240x240 | Image width 240 mm, 1.00 mm slice spacing
FLAIR MRI.
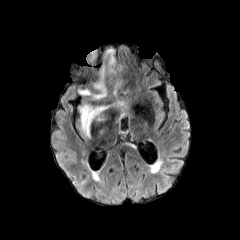
T1-weighted MRI.
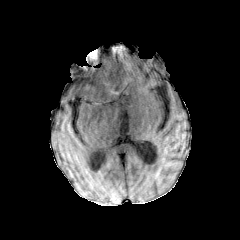
Post-contrast T1-weighted MR.
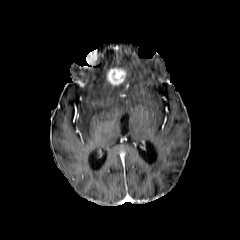
T2-weighted MR.
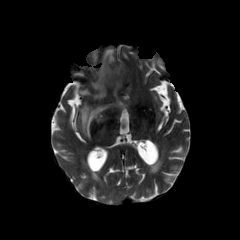
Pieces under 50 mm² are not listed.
Segmented structures:
- peritumoral edema: x1=104 y1=49 x2=114 y2=63, x1=92 y1=65 x2=113 y2=98, x1=79 y1=104 x2=107 y2=136, x1=79 y1=89 x2=90 y2=95
- enhancing tumor: x1=106 y1=67 x2=126 y2=87